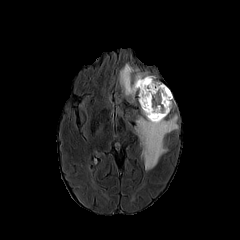
FLAIR MRI.
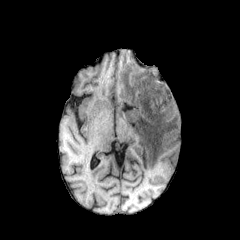
T1-weighted MRI.
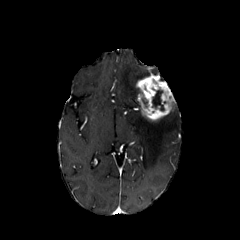
Post-contrast T1-weighted MRI.
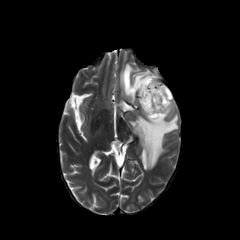
T2-weighted MR image.
Image size 240x240. Axial view.
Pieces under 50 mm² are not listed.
<segmentation>
  <enhancing_tumor>(136, 75, 175, 120)</enhancing_tumor>
  <necrotic_tumor_core>(152, 90, 164, 110)</necrotic_tumor_core>
  <peritumoral_edema>(134, 114, 178, 170), (119, 63, 149, 102)</peritumoral_edema>
</segmentation>